FLAIR MR.
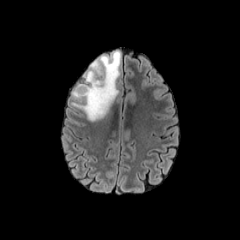
T1-weighted MR image.
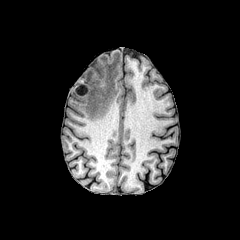
Post-contrast T1-weighted magnetic resonance.
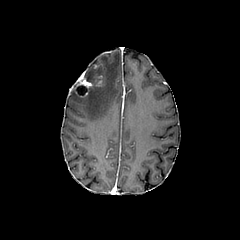
T2-weighted magnetic resonance.
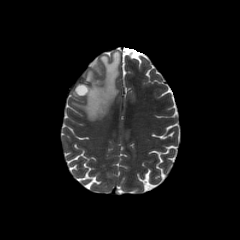
Axial view
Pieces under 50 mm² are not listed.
Annotated regions:
* peritumoral edema: 72,51,120,121
* necrotic tumor core: 77,85,86,95
* enhancing tumor: 75,73,101,97